Image width 240 mm, Axial plane, Head
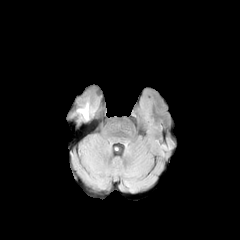
FLAIR MR image.
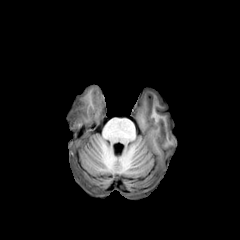
T1-weighted MR image of the same slice.
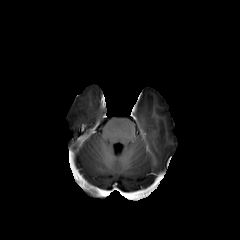
Post-contrast T1-weighted MRI.
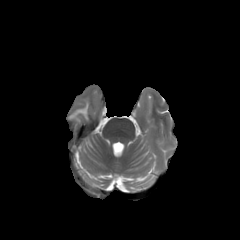
T2-weighted magnetic resonance.
• peritumoral edema: 78, 102, 88, 119